FLAIR magnetic resonance.
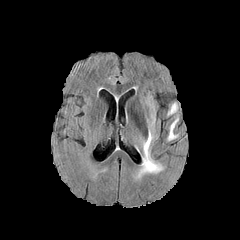
T1-weighted MR image.
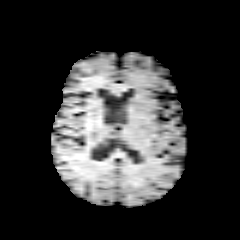
Post-contrast T1-weighted MR.
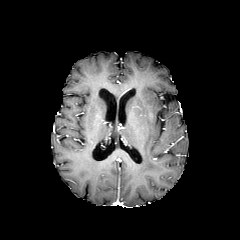
T2-weighted MRI.
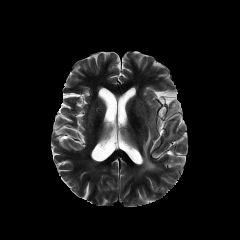
Head
{
  "peritumoral_edema": [
    "168, 103, 177, 114",
    "168, 119, 178, 139",
    "140, 130, 161, 173"
  ]
}